Axial slice. 240x240 px.
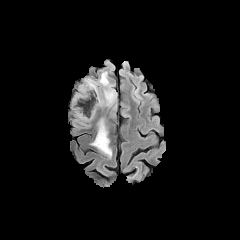
FLAIR MR image.
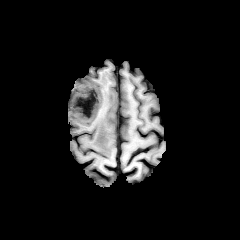
T1-weighted MR image of the same slice.
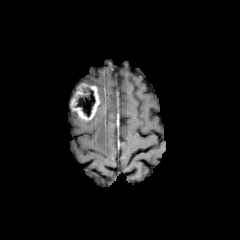
Post-contrast T1-weighted MR.
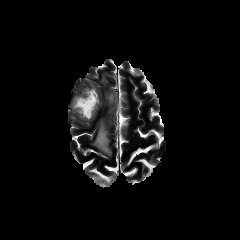
T2-weighted MR of the same slice.
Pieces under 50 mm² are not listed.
Findings:
* peritumoral edema: 99 72 115 105, 85 78 97 85, 91 119 111 156
* enhancing tumor: 71 83 100 120
* necrotic tumor core: 75 87 95 117